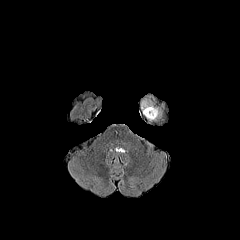
FLAIR MR image.
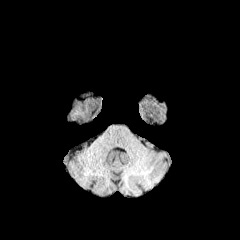
T1-weighted magnetic resonance.
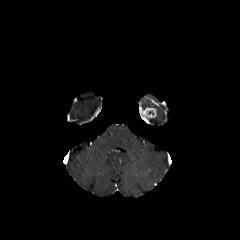
Post-contrast T1-weighted magnetic resonance.
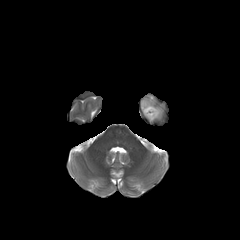
T2-weighted magnetic resonance.
Axial view; Brain
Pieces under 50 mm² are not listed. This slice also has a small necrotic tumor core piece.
- peritumoral edema: 149,108,161,120; 141,99,153,108
- enhancing tumor: 141,107,156,118